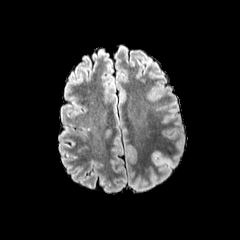
FLAIR MR.
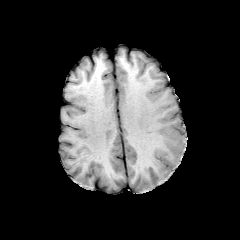
T1-weighted magnetic resonance.
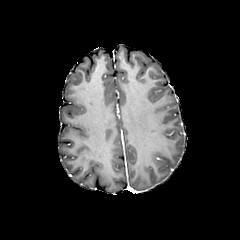
Post-contrast T1-weighted magnetic resonance.
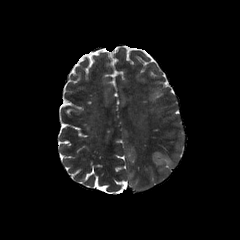
T2-weighted MRI.
Image size 240x240
peritumoral edema: 152,152,174,169